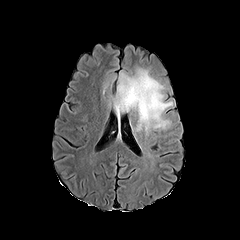
FLAIR MR image.
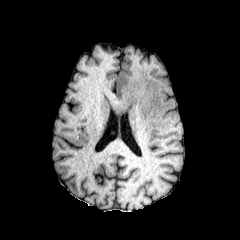
Same slice, T1-weighted MRI.
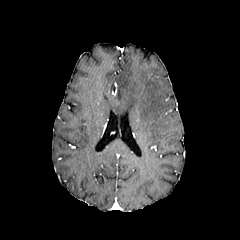
Post-contrast T1-weighted MR image.
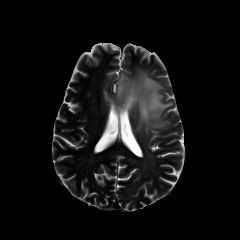
T2-weighted MRI.
Brain. 240x240.
The peritumoral edema is located at [x1=113, y1=68, x2=173, y2=134].